FLAIR magnetic resonance.
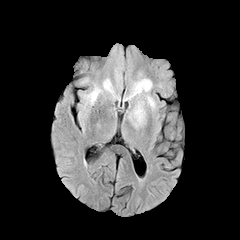
T1-weighted MR.
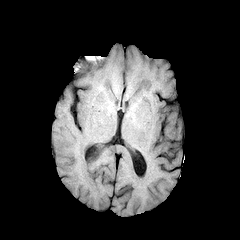
Post-contrast T1-weighted MR image.
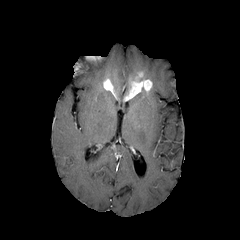
T2-weighted MR image.
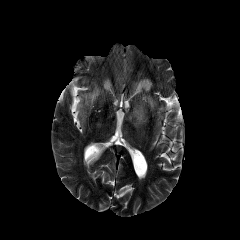
Head.
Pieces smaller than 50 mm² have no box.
* peritumoral edema: rect(84, 85, 102, 104); rect(129, 94, 155, 126)
* enhancing tumor: rect(124, 73, 152, 100); rect(103, 78, 116, 97)